Axial slice
FLAIR MR.
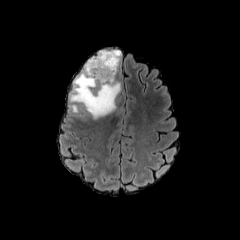
T1-weighted MR image.
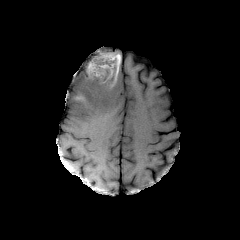
Post-contrast T1-weighted MRI.
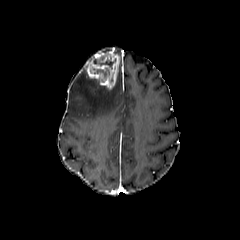
T2-weighted magnetic resonance.
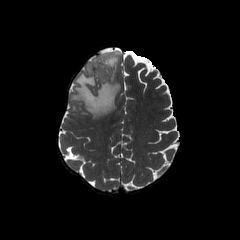
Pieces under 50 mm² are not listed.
<segmentation>
  <enhancing_tumor>box(85, 50, 119, 89)</enhancing_tumor>
  <necrotic_tumor_core>box(99, 61, 113, 68); box(90, 64, 106, 75)</necrotic_tumor_core>
  <peritumoral_edema>box(70, 68, 121, 119); box(71, 104, 78, 112)</peritumoral_edema>
</segmentation>